240x240 px
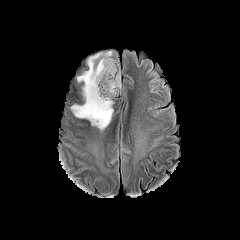
FLAIR magnetic resonance.
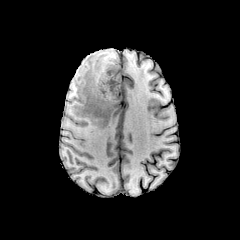
T1-weighted MRI of the same slice.
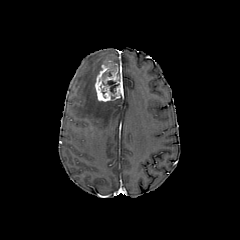
Post-contrast T1-weighted MR.
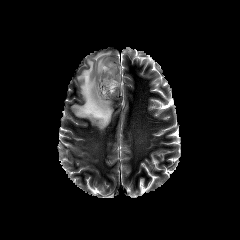
T2-weighted MR of the same slice.
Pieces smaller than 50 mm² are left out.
The largest peritumoral edema region lies within <box>71,51,115,130</box>. The enhancing tumor appears at <box>95,61,122,101</box>. The largest necrotic tumor core region lies within <box>107,80,116,92</box>.